FLAIR MR.
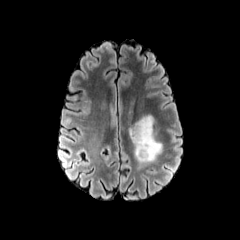
T1-weighted MR image.
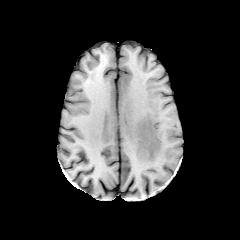
Post-contrast T1-weighted MRI.
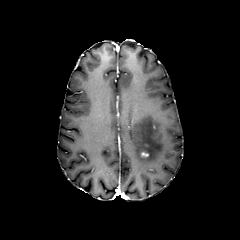
T2-weighted MR image.
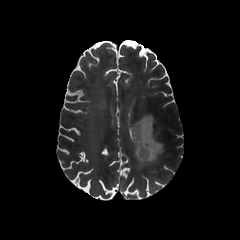
Axial slice; Head
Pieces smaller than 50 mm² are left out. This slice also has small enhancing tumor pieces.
peritumoral edema: [x1=128, y1=115, x2=162, y2=170]